FLAIR magnetic resonance.
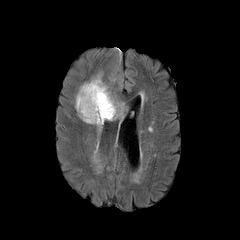
T1-weighted MR image.
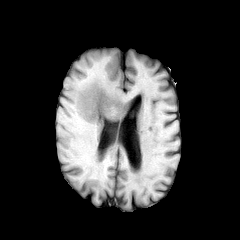
Post-contrast T1-weighted MRI.
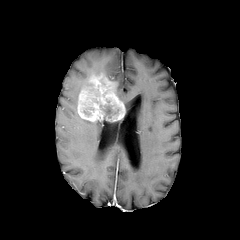
T2-weighted MR.
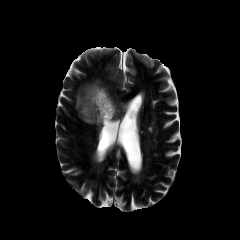
Head. Axial slice. 240x240 px.
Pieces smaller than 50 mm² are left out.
{"necrotic_tumor_core": ["103 105 118 117"], "peritumoral_edema": ["75 82 88 109", "82 119 103 124"], "enhancing_tumor": ["77 75 125 122"]}